Brain
FLAIR MR.
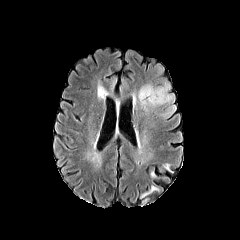
T1-weighted magnetic resonance.
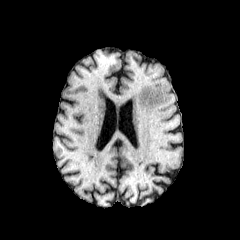
Post-contrast T1-weighted MR.
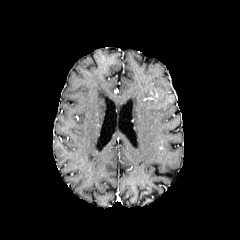
T2-weighted MR.
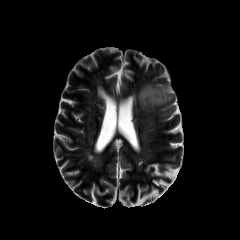
peritumoral_edema:
  - [x1=138, y1=84, x2=172, y2=110]
  - [x1=164, y1=106, x2=173, y2=116]